FLAIR magnetic resonance.
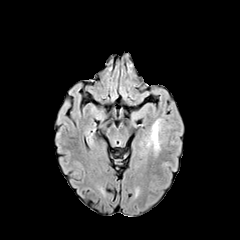
T1-weighted MR.
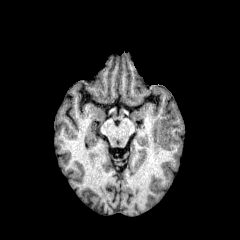
Post-contrast T1-weighted MRI.
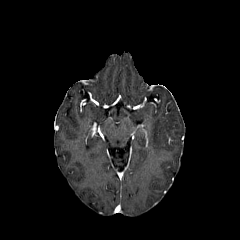
T2-weighted MR.
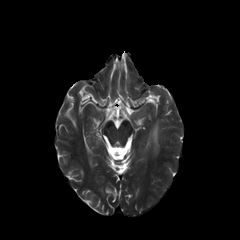
Axial slice. Brain.
{
  "peritumoral_edema": [
    "148, 119, 160, 151"
  ]
}